FLAIR MR image.
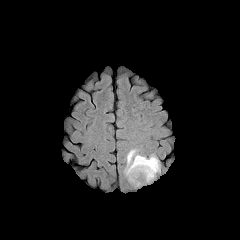
T1-weighted MRI.
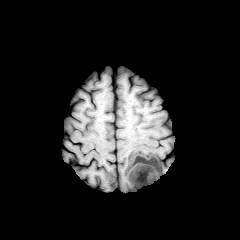
Post-contrast T1-weighted magnetic resonance.
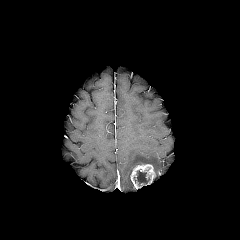
T2-weighted MR.
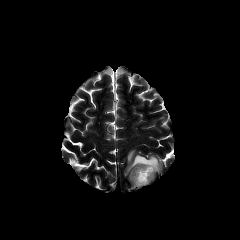
Axial view
The enhancing tumor is located at (left=130, top=164, right=155, bottom=188). The necrotic tumor core is at (left=135, top=170, right=149, bottom=185). The peritumoral edema is bounded by (left=124, top=149, right=160, bottom=181).